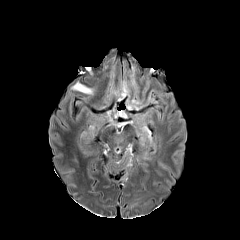
FLAIR MRI.
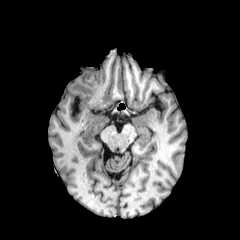
Same slice, T1-weighted MRI.
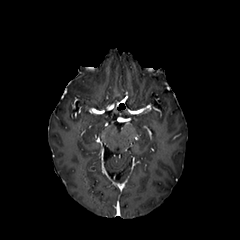
Post-contrast T1-weighted magnetic resonance of the same slice.
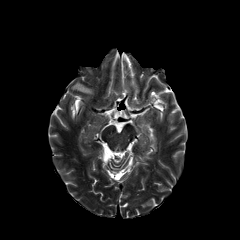
T2-weighted MRI.
Image size 240x240, Axial plane
peritumoral edema — (left=72, top=82, right=92, bottom=94)